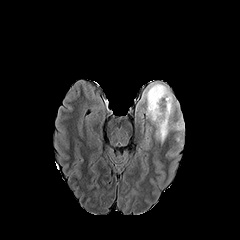
FLAIR MR image.
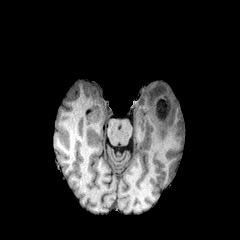
T1-weighted MR image.
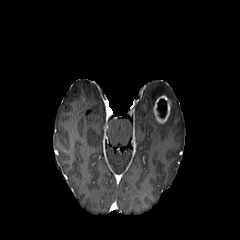
Post-contrast T1-weighted MRI.
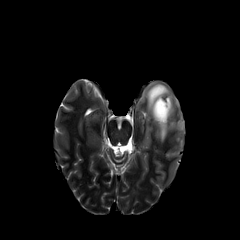
T2-weighted MR image.
Axial slice
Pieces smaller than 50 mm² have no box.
peritumoral_edema:
  - <bbox>142, 82, 184, 145</bbox>
necrotic_tumor_core:
  - <bbox>157, 99, 167, 118</bbox>
enhancing_tumor:
  - <bbox>153, 95, 171, 123</bbox>